FLAIR MR image.
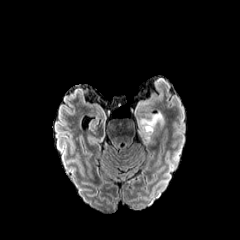
T1-weighted MR image.
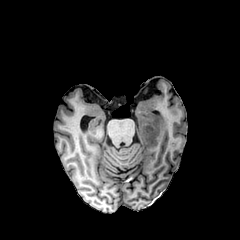
Post-contrast T1-weighted MR.
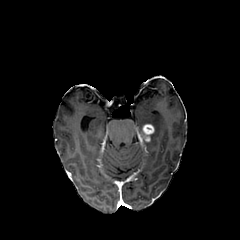
T2-weighted MRI.
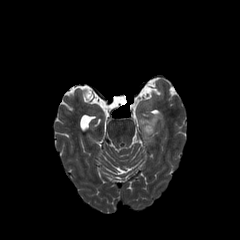
Axial slice
enhancing tumor: bounding box box=[139, 124, 154, 141]
peritumoral edema: bounding box box=[138, 114, 163, 144]